Axial view, 240x240, Brain
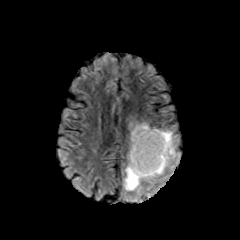
FLAIR MR image.
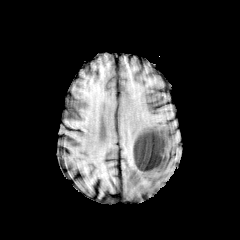
T1-weighted MR image.
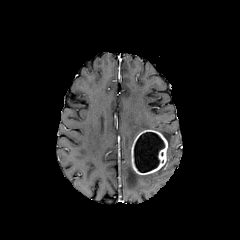
Same slice, post-contrast T1-weighted MR image.
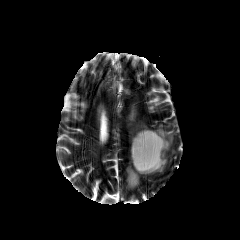
T2-weighted MRI of the same slice.
- enhancing tumor: [131,129,167,174]
- peritumoral edema: [124,122,175,190]
- necrotic tumor core: [134,132,164,172]